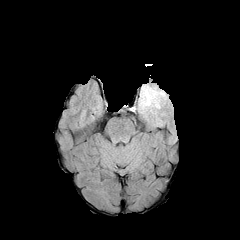
FLAIR MRI.
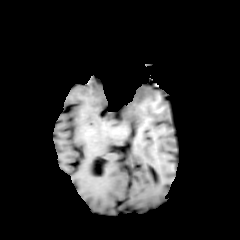
T1-weighted MRI of the same slice.
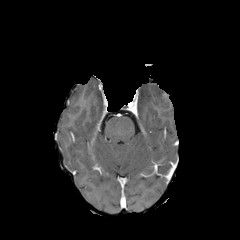
Post-contrast T1-weighted MRI.
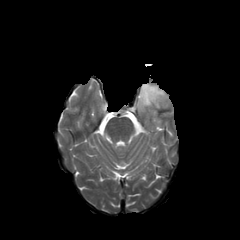
T2-weighted MR image.
Head, Axial view
The peritumoral edema is at 137 83 167 118.